Slice 62/155, Head
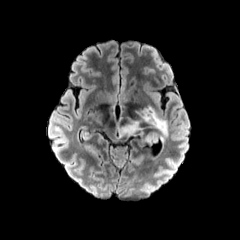
FLAIR MR.
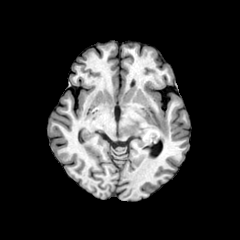
Same slice, T1-weighted MR image.
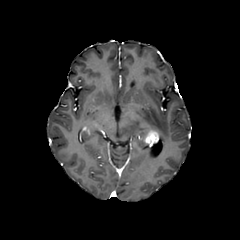
Same slice, post-contrast T1-weighted MRI.
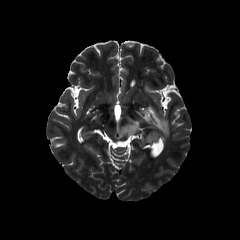
T2-weighted magnetic resonance of the same slice.
The peritumoral edema is bounded by 119,105,168,140. The enhancing tumor lies within 144,130,158,145.